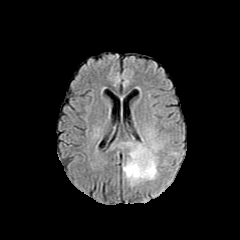
FLAIR MR image.
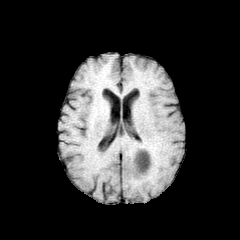
Same slice, T1-weighted MR image.
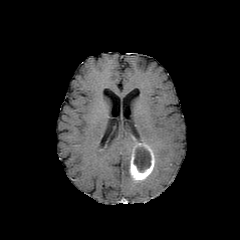
Same slice, post-contrast T1-weighted MRI.
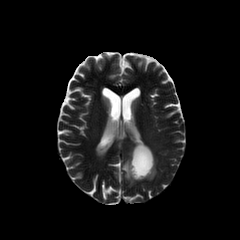
T2-weighted MR image.
Image size 240x240
The necrotic tumor core appears at (134,147,150,171). The enhancing tumor is at (129,143,154,181). 2 peritumoral edema regions are bounded by (142,132,160,180), (109,142,143,186).